FLAIR MR image.
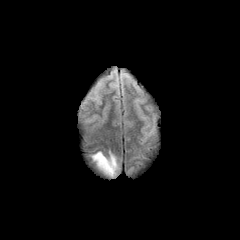
T1-weighted magnetic resonance.
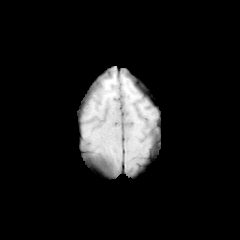
Post-contrast T1-weighted MR image.
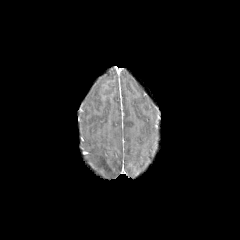
T2-weighted magnetic resonance.
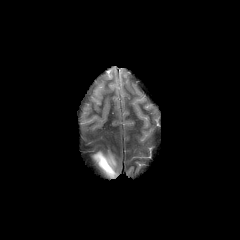
Brain
peritumoral edema: bbox(92, 151, 119, 177)